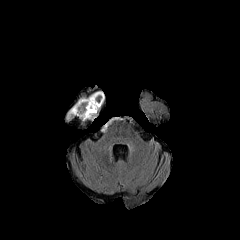
FLAIR magnetic resonance.
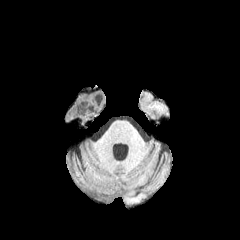
Same slice, T1-weighted MRI.
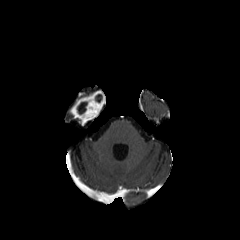
Post-contrast T1-weighted MR.
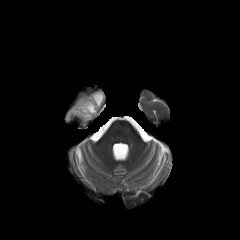
T2-weighted MR image.
Head
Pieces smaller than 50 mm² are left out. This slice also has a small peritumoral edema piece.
The largest necrotic tumor core region is bounded by (left=77, top=102, right=87, bottom=114). The enhancing tumor is bounded by (left=69, top=91, right=105, bottom=124).